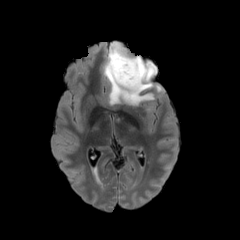
FLAIR MRI.
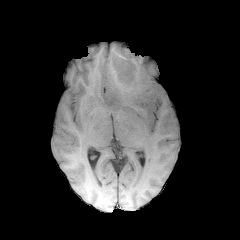
T1-weighted MR image.
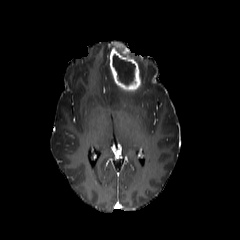
Post-contrast T1-weighted MR.
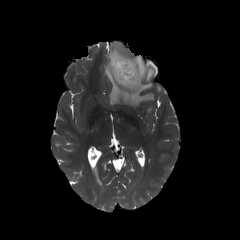
T2-weighted MR image.
Axial slice, Head, 240x240 px
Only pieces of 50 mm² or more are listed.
enhancing tumor: bounding box [109, 43, 141, 92]
peritumoral edema: bounding box [103, 42, 157, 106]
necrotic tumor core: bounding box [113, 54, 135, 84]